FLAIR MR.
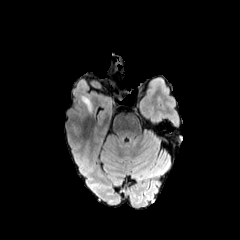
T1-weighted MR image.
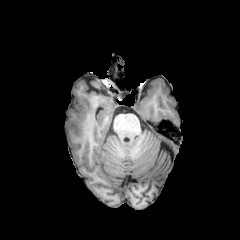
Post-contrast T1-weighted MR image.
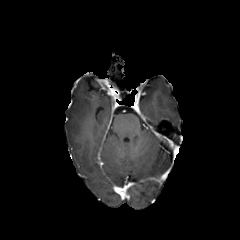
T2-weighted magnetic resonance.
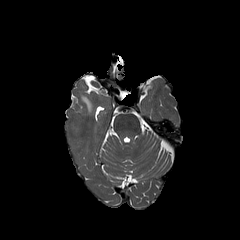
Brain
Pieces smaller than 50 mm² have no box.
The largest peritumoral edema region is at <box>81,96,92,112</box>.